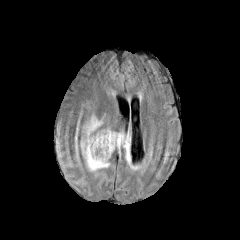
FLAIR magnetic resonance.
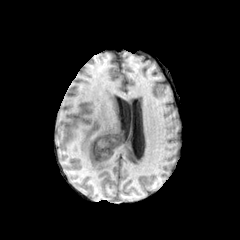
T1-weighted MR image.
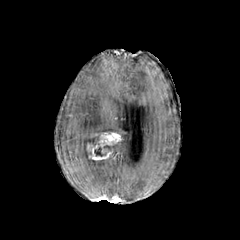
Same slice, post-contrast T1-weighted MRI.
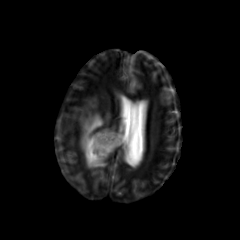
T2-weighted MRI.
Axial slice, Brain
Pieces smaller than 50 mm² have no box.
Findings:
• peritumoral edema: [113, 134, 130, 161], [82, 116, 109, 170]
• enhancing tumor: [87, 132, 123, 160]
• necrotic tumor core: [95, 147, 105, 156]